FLAIR MRI.
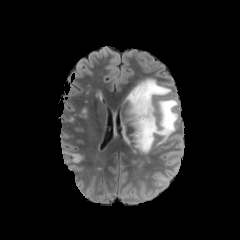
T1-weighted MR.
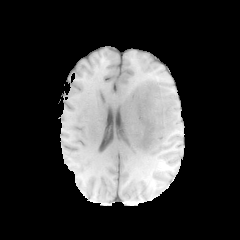
Post-contrast T1-weighted MR image.
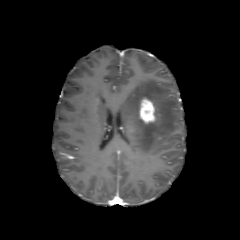
T2-weighted MR image.
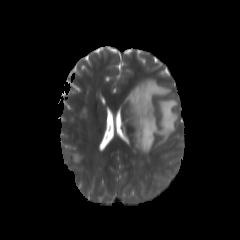
Axial plane; Brain
{
  "enhancing_tumor": [
    "x1=139, y1=97, x2=155, y2=123"
  ],
  "peritumoral_edema": [
    "x1=126, y1=78, x2=178, y2=153"
  ]
}